FLAIR MRI.
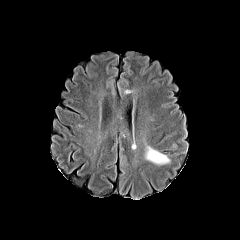
T1-weighted magnetic resonance.
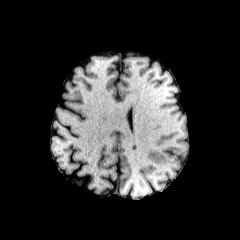
Post-contrast T1-weighted magnetic resonance.
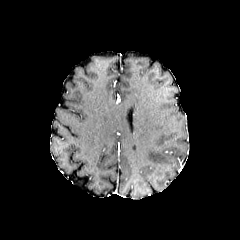
T2-weighted magnetic resonance.
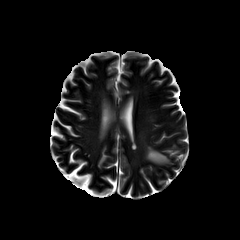
Axial plane
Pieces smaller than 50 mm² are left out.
peritumoral edema at x1=144 y1=144 x2=170 y2=165